Axial view
FLAIR MR image.
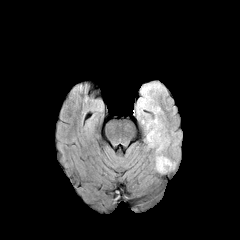
T1-weighted MRI.
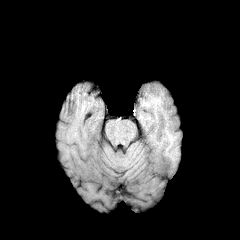
Post-contrast T1-weighted MRI.
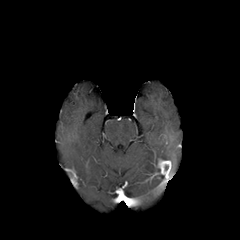
T2-weighted MR.
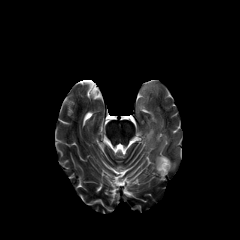
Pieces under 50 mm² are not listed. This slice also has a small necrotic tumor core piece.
{"enhancing_tumor": ["(left=157, top=159, right=171, bottom=174)"], "peritumoral_edema": ["(left=136, top=81, right=167, bottom=123)", "(left=155, top=153, right=169, bottom=172)", "(left=146, top=129, right=167, bottom=152)"]}